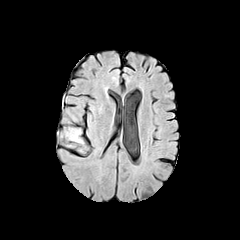
FLAIR magnetic resonance.
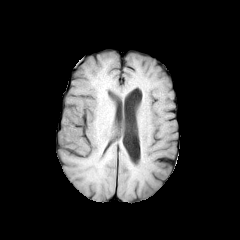
T1-weighted MRI of the same slice.
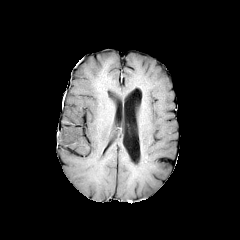
Post-contrast T1-weighted MRI.
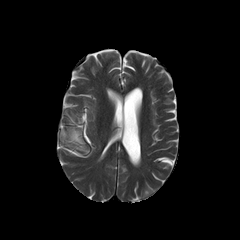
T2-weighted MR of the same slice.
Axial slice.
The peritumoral edema appears at 61 128 84 150.